Head, Axial plane
FLAIR MR.
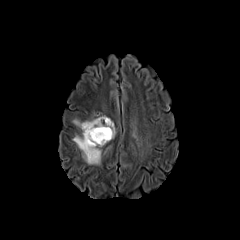
T1-weighted magnetic resonance.
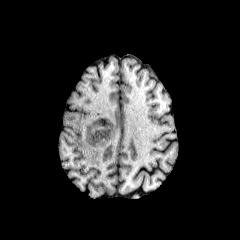
Post-contrast T1-weighted MRI.
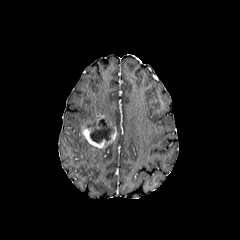
T2-weighted MRI.
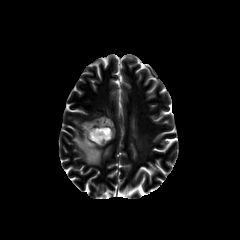
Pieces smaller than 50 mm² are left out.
peritumoral_edema:
  - box=[72, 135, 102, 164]
  - box=[73, 114, 100, 129]
necrotic_tumor_core:
  - box=[86, 117, 114, 143]
enhancing_tumor:
  - box=[81, 121, 116, 148]